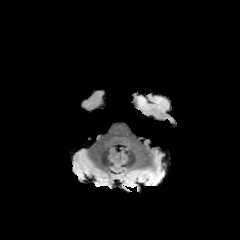
FLAIR MR.
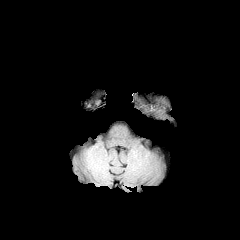
T1-weighted MR image.
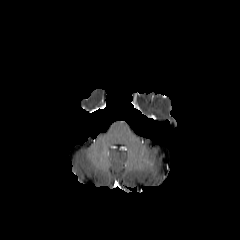
Post-contrast T1-weighted MR image.
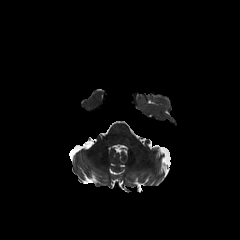
T2-weighted magnetic resonance.
Axial plane. Brain.
The peritumoral edema is at left=137, top=96, right=166, bottom=110.